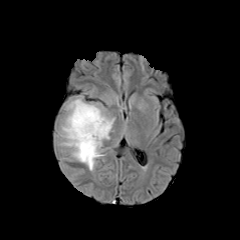
FLAIR MR image.
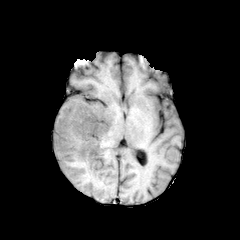
Same slice, T1-weighted MR image.
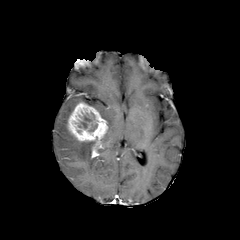
Same slice, post-contrast T1-weighted magnetic resonance.
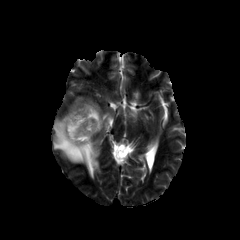
Same slice, T2-weighted magnetic resonance.
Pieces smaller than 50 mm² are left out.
Findings:
• peritumoral edema: [84, 102, 115, 144], [55, 96, 102, 172]
• enhancing tumor: [67, 102, 108, 158]
• necrotic tumor core: [81, 115, 91, 128]